Image width 240 mm; 240x240
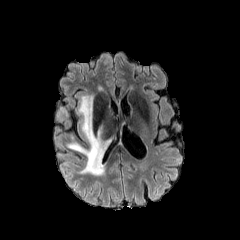
FLAIR MR image.
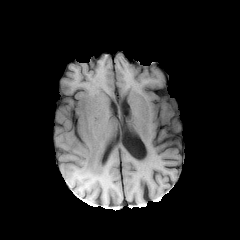
Same slice, T1-weighted MR.
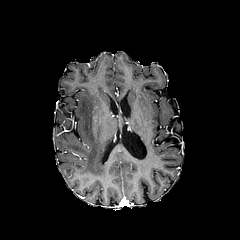
Same slice, post-contrast T1-weighted MR.
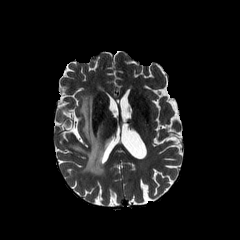
Same slice, T2-weighted MRI.
peritumoral edema: box=[68, 94, 112, 175]